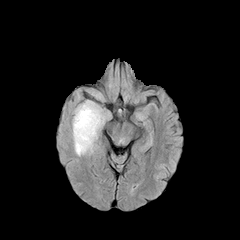
FLAIR magnetic resonance.
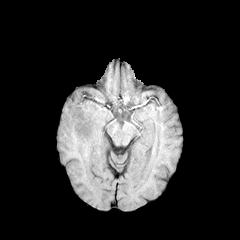
Same slice, T1-weighted MR.
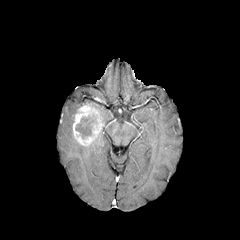
Post-contrast T1-weighted magnetic resonance of the same slice.
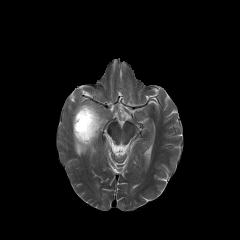
Same slice, T2-weighted MRI.
Head.
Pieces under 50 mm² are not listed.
Findings:
* enhancing tumor: (left=73, top=105, right=102, bottom=145)
* necrotic tumor core: (left=76, top=116, right=95, bottom=138)
* peritumoral edema: (left=72, top=101, right=105, bottom=129), (left=72, top=133, right=98, bottom=155)